FLAIR MRI.
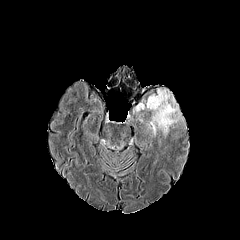
T1-weighted magnetic resonance.
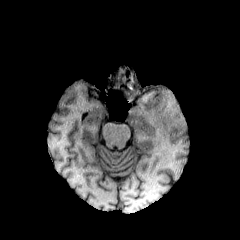
Post-contrast T1-weighted magnetic resonance.
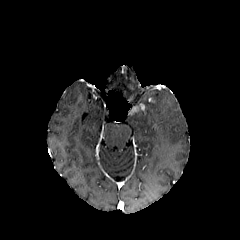
T2-weighted MR.
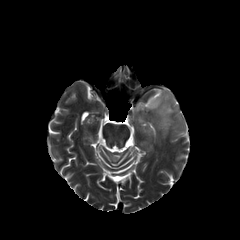
Head.
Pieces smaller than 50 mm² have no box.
<segmentation>
  <enhancing_tumor>bbox(133, 103, 144, 111)</enhancing_tumor>
  <peritumoral_edema>bbox(146, 90, 180, 135)</peritumoral_edema>
</segmentation>